FLAIR MR.
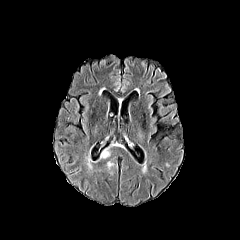
T1-weighted magnetic resonance.
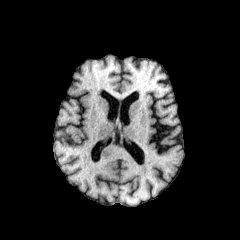
Post-contrast T1-weighted MRI.
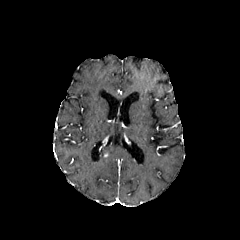
T2-weighted MRI.
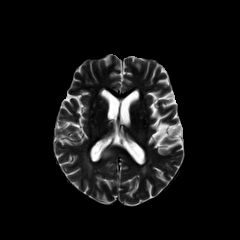
Axial slice; 240x240 px; Head
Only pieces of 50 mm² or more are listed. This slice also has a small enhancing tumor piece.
peritumoral edema = region(100, 148, 110, 158)